Slice 135/155. Image width 240 mm. Head.
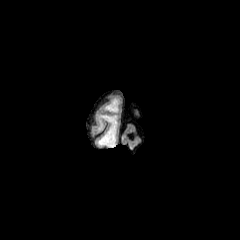
FLAIR MRI.
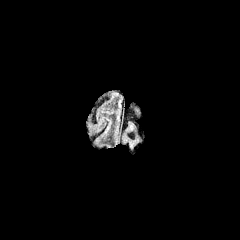
T1-weighted MR image.
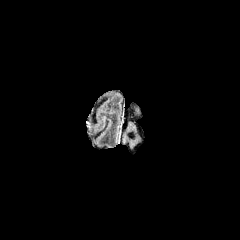
Post-contrast T1-weighted MR image.
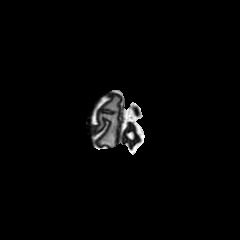
T2-weighted MR image of the same slice.
peritumoral edema: [97, 98, 118, 147]